FLAIR MRI.
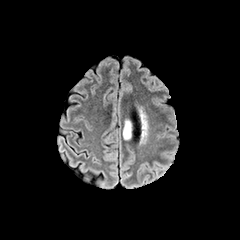
T1-weighted MR.
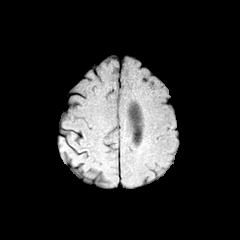
Post-contrast T1-weighted magnetic resonance.
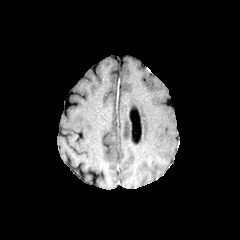
T2-weighted MRI.
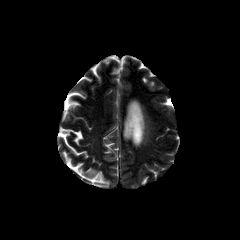
Axial slice
peritumoral edema: [140, 110, 148, 143], [123, 119, 131, 139]